Image width 240 mm. Axial view.
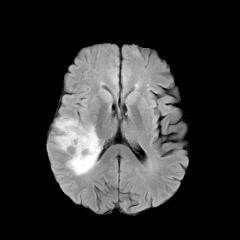
FLAIR MR image.
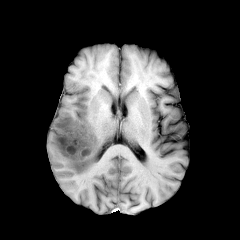
T1-weighted MR of the same slice.
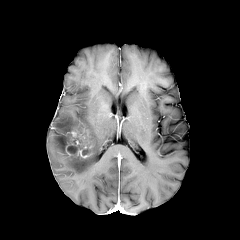
Same slice, post-contrast T1-weighted magnetic resonance.
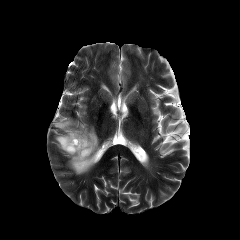
T2-weighted magnetic resonance.
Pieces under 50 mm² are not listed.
enhancing tumor: box(65, 130, 92, 158) | peritumoral edema: box(54, 116, 101, 175) | necrotic tumor core: box(67, 145, 82, 154)